FLAIR MR image.
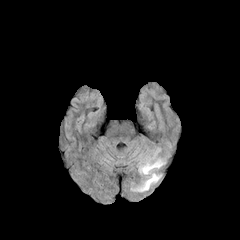
T1-weighted MRI.
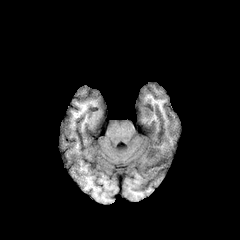
Post-contrast T1-weighted MRI.
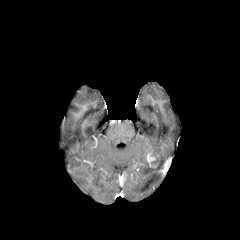
T2-weighted MRI.
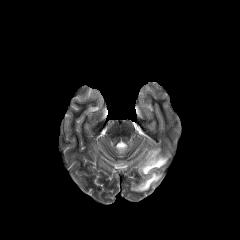
Axial slice; Head
enhancing tumor: bbox=[146, 152, 160, 167]
peritumoral edema: bbox=[130, 147, 169, 192]